Head. Image width 240 mm. 240x240.
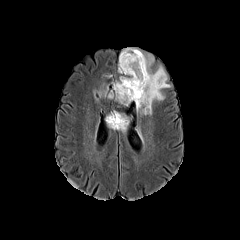
FLAIR MR.
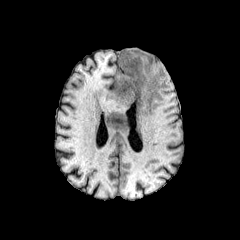
T1-weighted MR of the same slice.
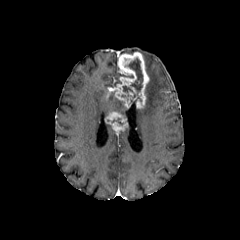
Post-contrast T1-weighted MR image.
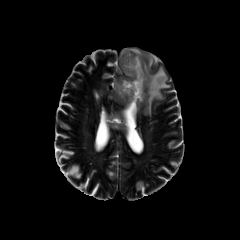
T2-weighted MRI.
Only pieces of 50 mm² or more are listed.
enhancing tumor: bbox(105, 112, 128, 130); bbox(110, 51, 149, 108) | necrotic tumor core: bbox(128, 58, 142, 94) | peritumoral edema: bbox(98, 86, 123, 105); bbox(121, 48, 170, 115)